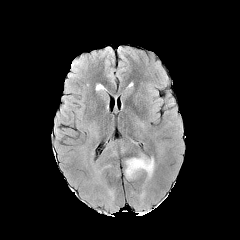
FLAIR MR.
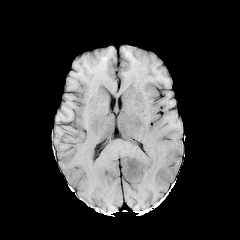
T1-weighted MRI.
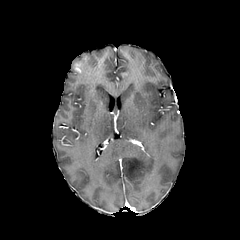
Post-contrast T1-weighted MRI.
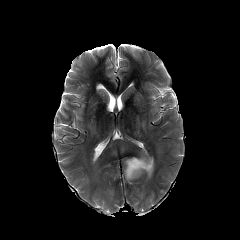
T2-weighted MR image.
Head
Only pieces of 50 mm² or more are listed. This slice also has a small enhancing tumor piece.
peritumoral edema: bbox(125, 156, 154, 179)